FLAIR MR.
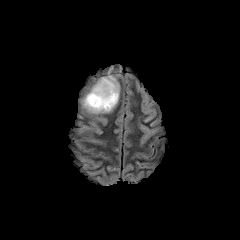
T1-weighted magnetic resonance.
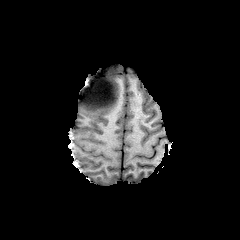
Post-contrast T1-weighted magnetic resonance.
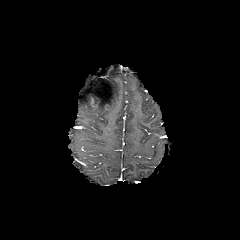
T2-weighted magnetic resonance.
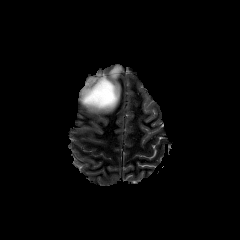
240x240 px | Axial plane
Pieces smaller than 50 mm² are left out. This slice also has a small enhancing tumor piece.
The peritumoral edema is located at 79 70 120 113. The necrotic tumor core is at 88 78 114 106.